FLAIR MRI.
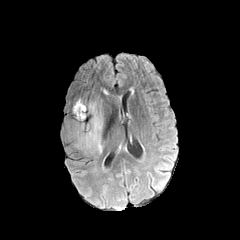
T1-weighted MRI.
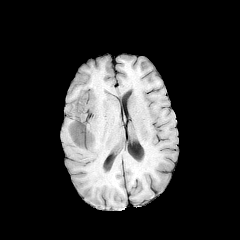
Post-contrast T1-weighted MRI.
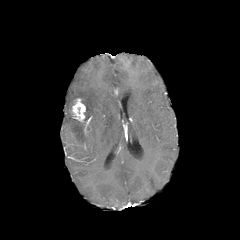
T2-weighted MRI.
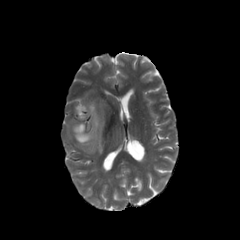
Head
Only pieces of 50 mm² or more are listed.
enhancing tumor: bounding box <bbox>72, 98, 91, 146</bbox>
necrotic tumor core: bounding box <bbox>74, 124, 86, 140</bbox>
peritumoral edema: bounding box <bbox>87, 101, 102, 153</bbox>